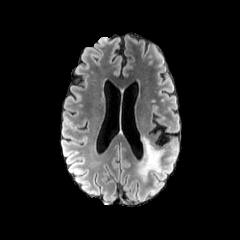
FLAIR MR.
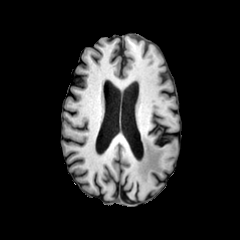
T1-weighted MR image.
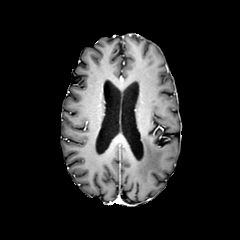
Post-contrast T1-weighted MR.
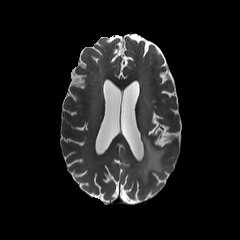
T2-weighted MRI.
240x240 px. Brain.
peritumoral edema = (135,136,162,182)